240x240; Head
FLAIR MR image.
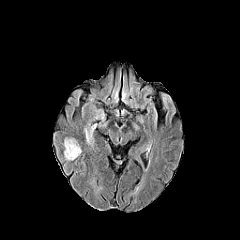
T1-weighted MR.
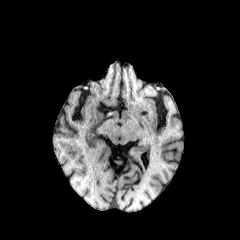
Post-contrast T1-weighted MRI.
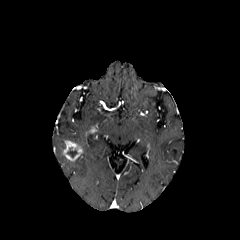
T2-weighted MR.
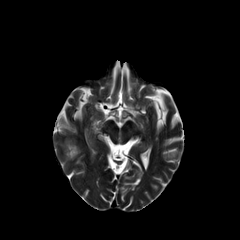
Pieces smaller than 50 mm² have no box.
Segmented structures:
• peritumoral edema: [64, 137, 78, 144]
• necrotic tumor core: [67, 148, 77, 157]
• enhancing tumor: [63, 140, 82, 160]